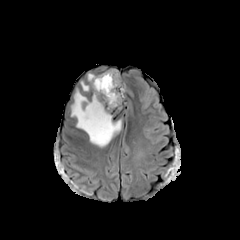
FLAIR MRI.
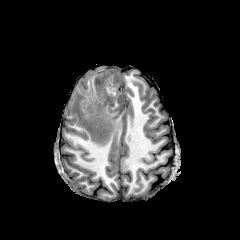
T1-weighted MR.
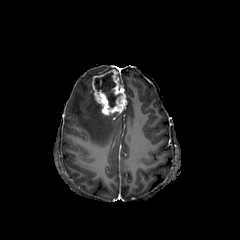
Post-contrast T1-weighted MRI.
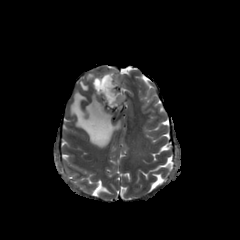
T2-weighted magnetic resonance.
240x240 px
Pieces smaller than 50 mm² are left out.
The 3 largest peritumoral edema regions appear at (left=71, top=89, right=121, bottom=147), (left=80, top=81, right=89, bottom=91), (left=87, top=73, right=94, bottom=84). The enhancing tumor lies within (left=92, top=70, right=127, bottom=115). The largest necrotic tumor core region is at (left=94, top=72, right=120, bottom=107).